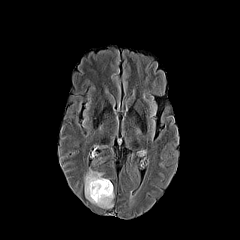
FLAIR MRI.
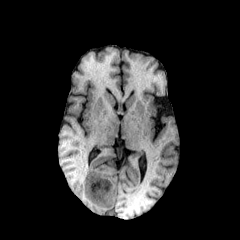
T1-weighted magnetic resonance of the same slice.
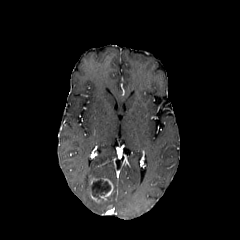
Post-contrast T1-weighted MR of the same slice.
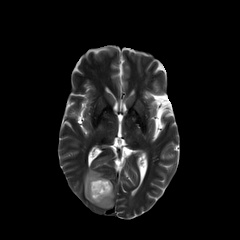
T2-weighted MR.
Brain
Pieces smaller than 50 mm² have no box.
The largest necrotic tumor core region is at {"x1": 91, "y1": 179, "x2": 110, "y2": 198}. The largest peritumoral edema region is at {"x1": 84, "y1": 169, "x2": 113, "y2": 208}. The largest enhancing tumor region appears at {"x1": 87, "y1": 175, "x2": 113, "y2": 206}.